Brain, Image width 240 mm
FLAIR MR image.
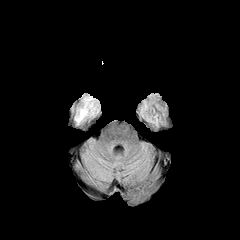
T1-weighted MRI.
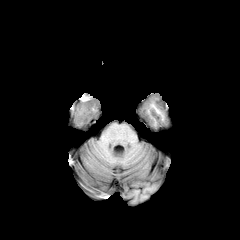
Post-contrast T1-weighted MR image.
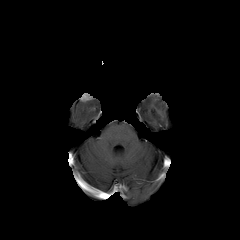
T2-weighted magnetic resonance.
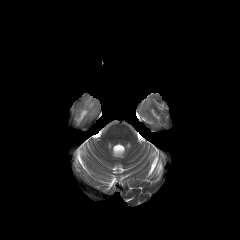
peritumoral edema = left=75, top=96, right=95, bottom=124